FLAIR MR image.
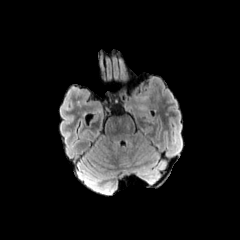
T1-weighted MRI.
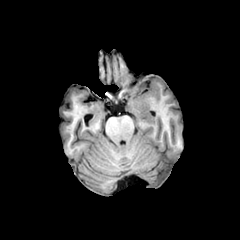
Post-contrast T1-weighted magnetic resonance.
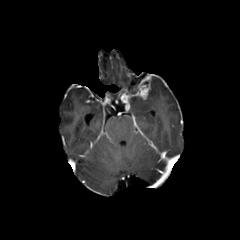
T2-weighted MR.
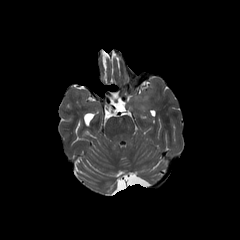
Brain, 240x240 px
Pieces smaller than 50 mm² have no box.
{"enhancing_tumor": ["[x1=121, y1=93, x2=135, y2=102]", "[x1=137, y1=79, x2=150, y2=99]"], "peritumoral_edema": ["[x1=144, y1=80, x2=157, y2=100]"]}